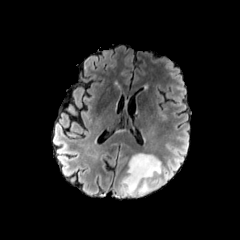
FLAIR MR image.
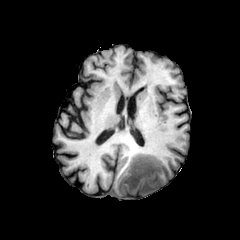
T1-weighted MR.
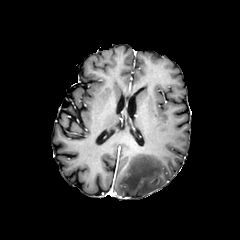
Post-contrast T1-weighted MR.
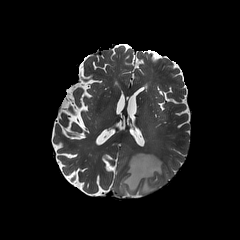
T2-weighted MRI.
peritumoral_edema:
  - box(118, 153, 162, 196)